Slice index 55
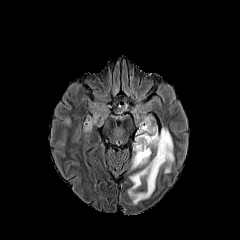
FLAIR MR image.
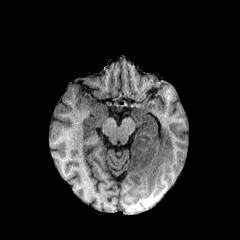
T1-weighted MRI.
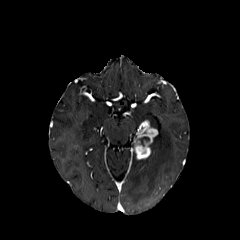
Post-contrast T1-weighted magnetic resonance.
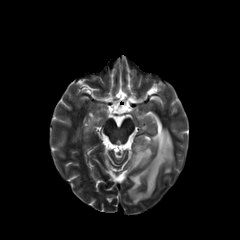
T2-weighted MRI.
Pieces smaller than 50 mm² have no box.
Findings:
• necrotic tumor core: bbox(139, 137, 149, 146)
• peritumoral edema: bbox(131, 154, 148, 169); bbox(84, 119, 90, 130); bbox(128, 128, 174, 204); bbox(142, 116, 156, 128)
• enhancing tumor: bbox(132, 120, 157, 160)